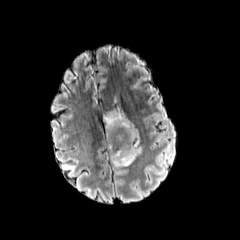
FLAIR MR.
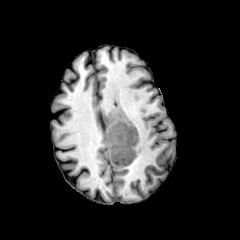
T1-weighted magnetic resonance.
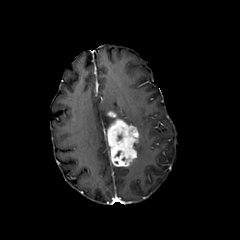
Post-contrast T1-weighted MRI.
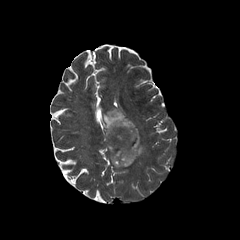
Same slice, T2-weighted MR image.
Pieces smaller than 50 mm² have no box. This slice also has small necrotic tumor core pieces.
peritumoral edema — {"x1": 103, "y1": 109, "x2": 134, "y2": 133}, {"x1": 136, "y1": 140, "x2": 141, "y2": 156}
enhancing tumor — {"x1": 106, "y1": 112, "x2": 139, "y2": 166}